FLAIR magnetic resonance.
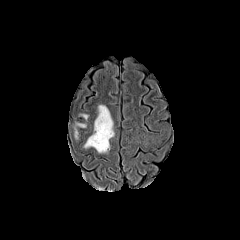
T1-weighted MR.
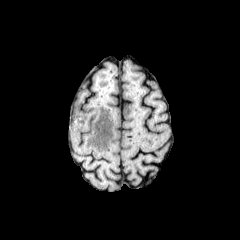
Post-contrast T1-weighted MRI.
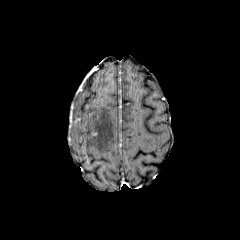
T2-weighted MR.
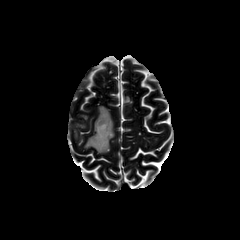
Brain, 240x240 px
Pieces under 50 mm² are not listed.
peritumoral edema: bounding box x1=84, y1=105, x2=114, y2=153